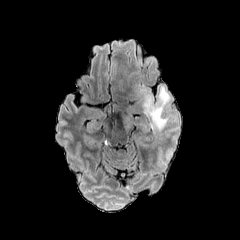
FLAIR MR.
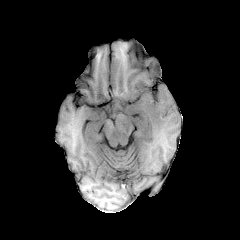
T1-weighted MR image.
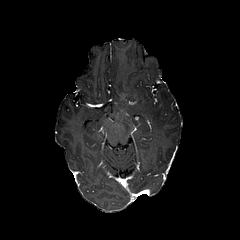
Same slice, post-contrast T1-weighted magnetic resonance.
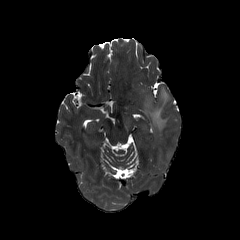
T2-weighted MR image.
Head.
2 peritumoral edema regions are bounded by bbox=[144, 86, 169, 130]; bbox=[123, 114, 131, 129].